Slice 65 of 155
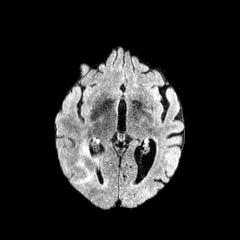
FLAIR magnetic resonance.
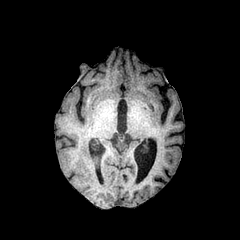
T1-weighted magnetic resonance.
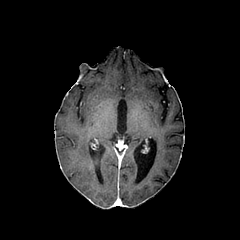
Post-contrast T1-weighted MRI.
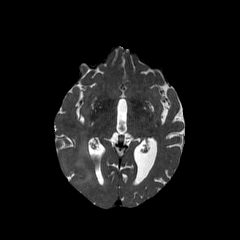
T2-weighted magnetic resonance.
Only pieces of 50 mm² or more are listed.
peritumoral_edema:
  - 75, 142, 95, 184